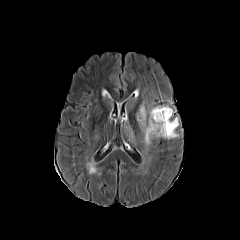
FLAIR MRI.
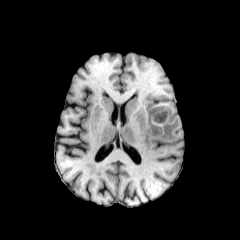
Same slice, T1-weighted MR.
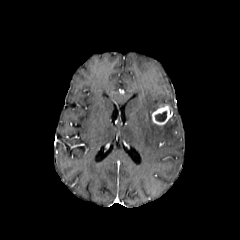
Post-contrast T1-weighted MRI of the same slice.
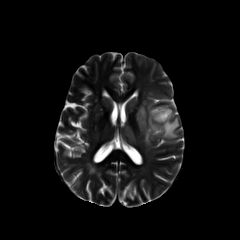
T2-weighted magnetic resonance.
Brain
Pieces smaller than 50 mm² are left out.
The largest peritumoral edema region lies within (137,104,178,146). The largest necrotic tumor core region is at (155,111,166,121). The enhancing tumor is located at (151,105,172,125).